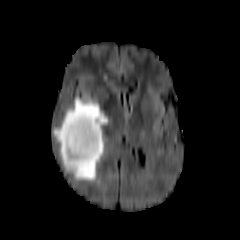
FLAIR MRI.
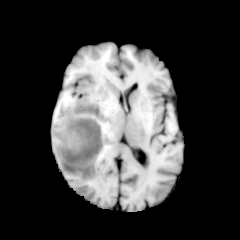
T1-weighted MRI.
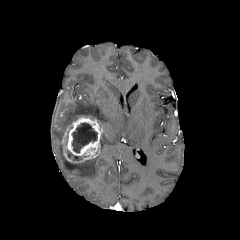
Post-contrast T1-weighted MR.
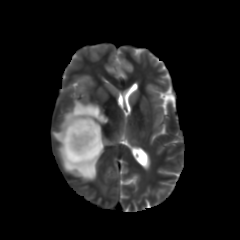
T2-weighted magnetic resonance of the same slice.
Axial view.
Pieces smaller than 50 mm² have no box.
enhancing tumor: bounding box x1=61 y1=115 x2=100 y2=163
peritumoral edema: bounding box x1=53 y1=97 x2=108 y2=180
necrotic tumor core: bounding box x1=66 y1=150 x2=81 y2=161, x1=71 y1=123 x2=97 y2=153